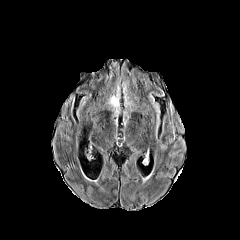
FLAIR MR image.
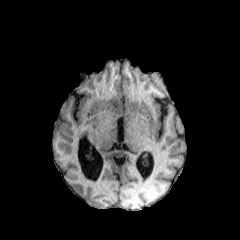
T1-weighted magnetic resonance.
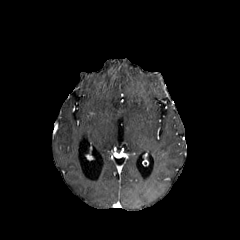
Post-contrast T1-weighted magnetic resonance.
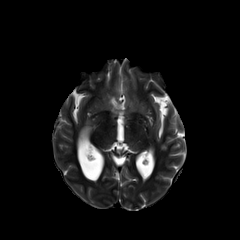
T2-weighted MR image.
Head
Annotated regions:
* peritumoral edema: bbox=[110, 96, 119, 113]